Image size 240x240 | Brain | Image width 240 mm | Slice 101 of 155
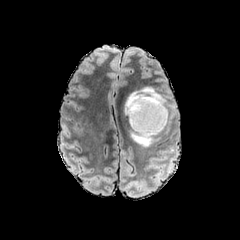
FLAIR MR image.
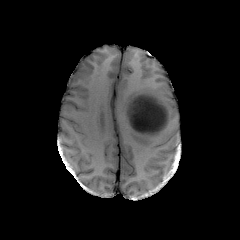
T1-weighted MR image.
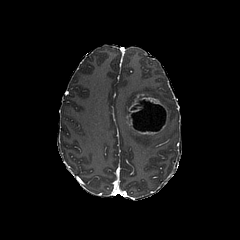
Post-contrast T1-weighted MR of the same slice.
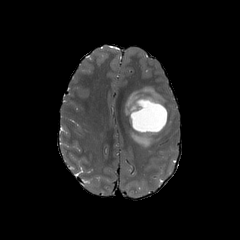
Same slice, T2-weighted magnetic resonance.
peritumoral edema: bounding box region(125, 87, 163, 114); region(130, 129, 161, 147)
necrotic tumor core: bounding box region(131, 99, 166, 131)
enhancing tumor: bounding box region(128, 94, 167, 134)